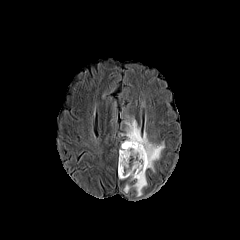
FLAIR magnetic resonance.
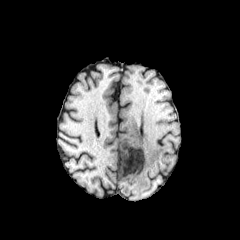
T1-weighted MR.
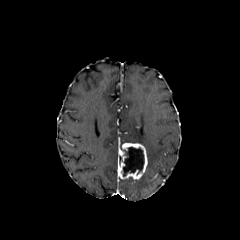
Same slice, post-contrast T1-weighted magnetic resonance.
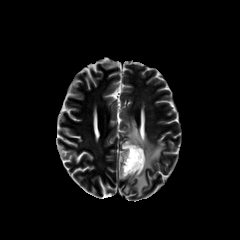
T2-weighted magnetic resonance.
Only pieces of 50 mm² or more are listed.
<segmentation>
  <necrotic_tumor_core>region(122, 147, 144, 176)</necrotic_tumor_core>
  <enhancing_tumor>region(118, 143, 147, 179)</enhancing_tumor>
  <peritumoral_edema>region(121, 117, 164, 171); region(124, 171, 147, 196)</peritumoral_edema>
</segmentation>